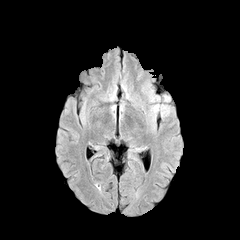
FLAIR MR image.
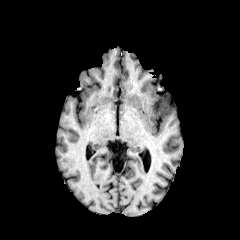
T1-weighted MRI of the same slice.
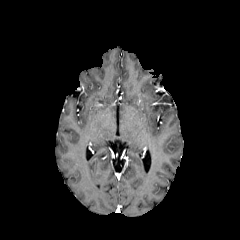
Post-contrast T1-weighted magnetic resonance.
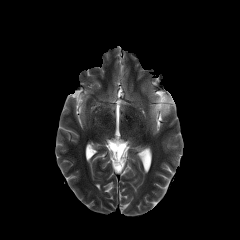
T2-weighted MR.
Axial slice
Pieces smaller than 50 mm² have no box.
Findings:
* peritumoral edema: <bbox>151, 96, 170, 118</bbox>